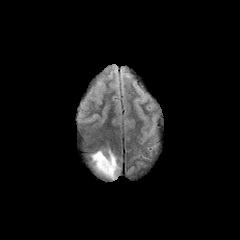
FLAIR MRI.
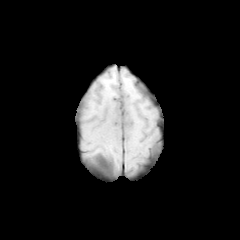
T1-weighted MRI.
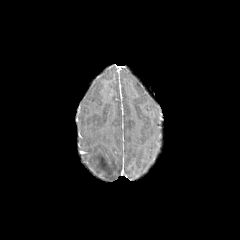
Same slice, post-contrast T1-weighted MR.
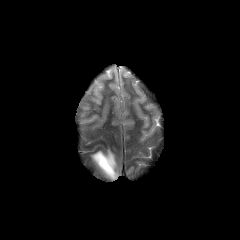
Same slice, T2-weighted MR.
Axial plane
<segmentation>
  <peritumoral_edema>left=91, top=149, right=119, bottom=180</peritumoral_edema>
</segmentation>